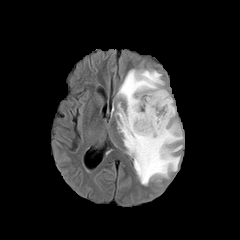
FLAIR MR.
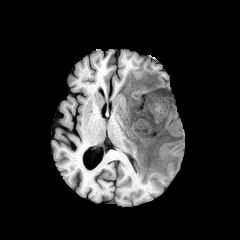
T1-weighted MR.
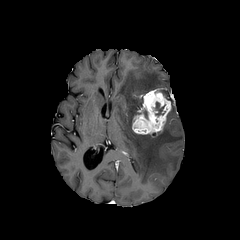
Post-contrast T1-weighted magnetic resonance.
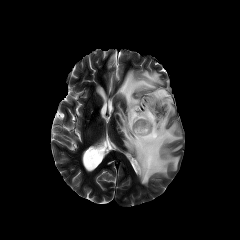
T2-weighted MR image.
Brain.
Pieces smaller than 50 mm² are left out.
enhancing tumor: (x1=132, y1=89, x2=171, y2=135)
peritumoral edema: (x1=116, y1=69, x2=182, y2=185)
necrotic tumor core: (x1=155, y1=102, x2=164, y2=115)